FLAIR MR.
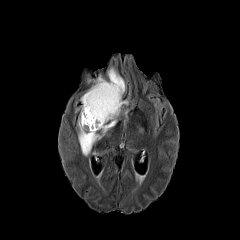
T1-weighted MR.
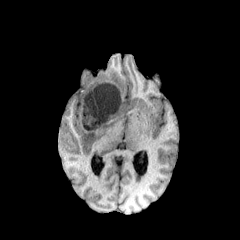
Post-contrast T1-weighted MR.
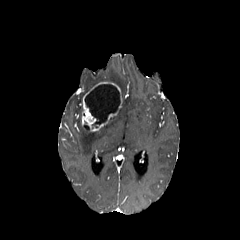
T2-weighted magnetic resonance.
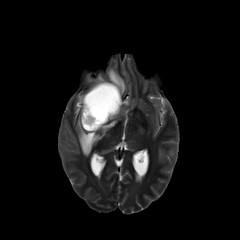
Head
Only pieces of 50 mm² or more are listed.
Findings:
• enhancing tumor: [x1=82, y1=81, x2=122, y2=131]
• necrotic tumor core: [x1=85, y1=84, x2=120, y2=124]
• peritumoral edema: [x1=76, y1=106, x2=128, y2=156], [x1=107, y1=67, x2=125, y2=95], [x1=87, y1=75, x2=106, y2=86]